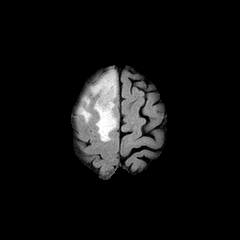
FLAIR MR image.
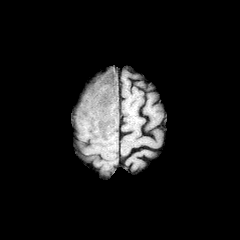
T1-weighted MR.
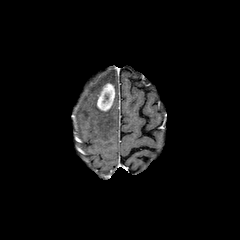
Post-contrast T1-weighted MR image.
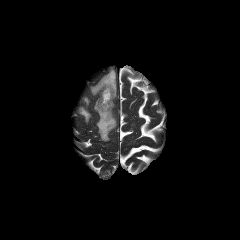
T2-weighted MR image of the same slice.
Axial slice | Head
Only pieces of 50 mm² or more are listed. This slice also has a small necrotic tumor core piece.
Segmented structures:
- peritumoral edema: <bbox>79, 107, 91, 122</bbox>, <bbox>91, 70, 116, 97</bbox>, <bbox>94, 100, 116, 141</bbox>
- enhancing tumor: <bbox>97, 83, 115, 111</bbox>